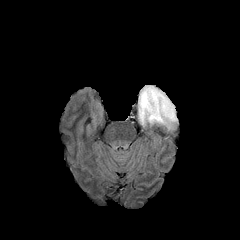
FLAIR MR image.
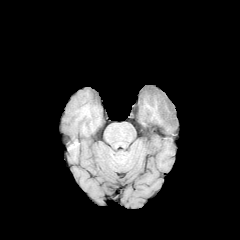
T1-weighted MR image of the same slice.
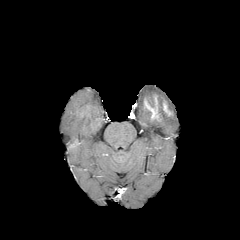
Post-contrast T1-weighted MR image.
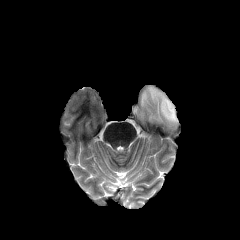
T2-weighted MR.
240x240 px | Axial view | Brain
Findings:
* peritumoral edema: 138:85:177:129
* enhancing tumor: 144:96:172:119